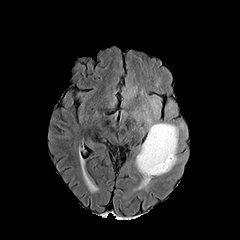
FLAIR magnetic resonance.
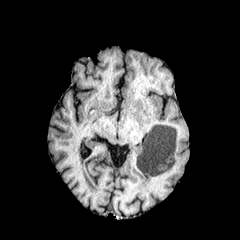
Same slice, T1-weighted magnetic resonance.
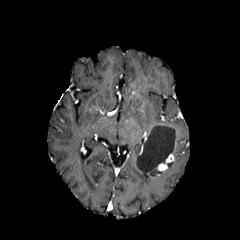
Same slice, post-contrast T1-weighted MRI.
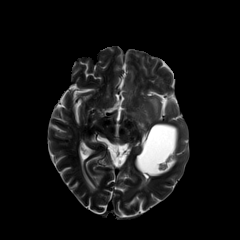
T2-weighted MR image.
240x240, Axial plane
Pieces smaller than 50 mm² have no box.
The largest necrotic tumor core region is at [x1=137, y1=125, x2=175, y2=174]. The largest enhancing tumor region is located at [x1=156, y1=125, x2=177, y2=171]. The 2 largest peritumoral edema regions are located at [x1=135, y1=109, x2=179, y2=188], [x1=149, y1=98, x2=159, y2=119].